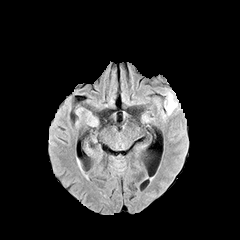
FLAIR MRI.
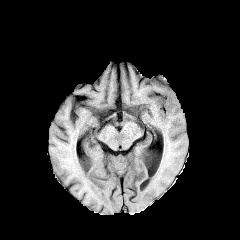
T1-weighted magnetic resonance of the same slice.
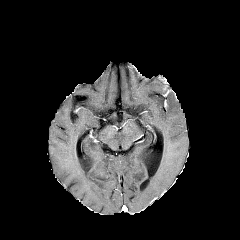
Post-contrast T1-weighted MR image.
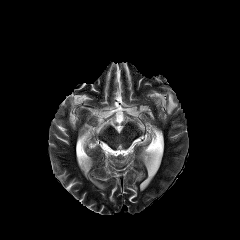
T2-weighted MR image of the same slice.
240x240, Brain
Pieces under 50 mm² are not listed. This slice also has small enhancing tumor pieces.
The peritumoral edema is at (166,91,177,114).